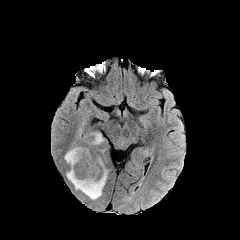
FLAIR MR image.
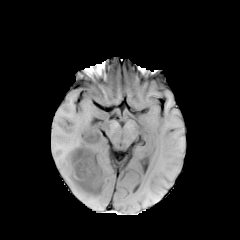
Same slice, T1-weighted MR.
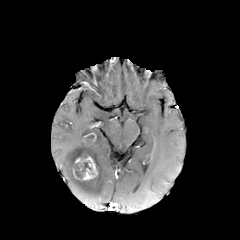
Post-contrast T1-weighted MR.
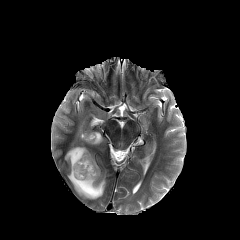
Same slice, T2-weighted MR.
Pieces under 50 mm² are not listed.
necrotic tumor core: {"x1": 74, "y1": 162, "x2": 91, "y2": 178}, {"x1": 84, "y1": 135, "x2": 94, "y2": 143} | enhancing tumor: {"x1": 75, "y1": 154, "x2": 97, "y2": 180} | peritumoral edema: {"x1": 64, "y1": 146, "x2": 108, "y2": 200}, {"x1": 84, "y1": 131, "x2": 105, "y2": 146}, {"x1": 77, "y1": 121, "x2": 84, "y2": 140}